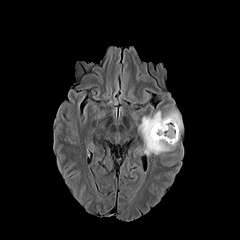
FLAIR magnetic resonance.
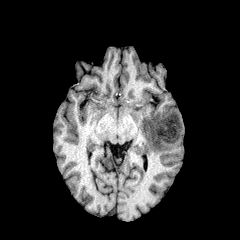
T1-weighted MR.
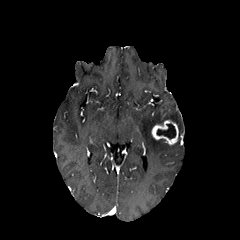
Post-contrast T1-weighted MRI.
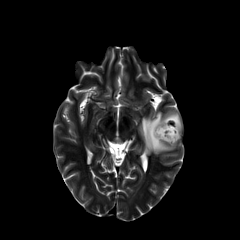
T2-weighted MR image.
Brain
The enhancing tumor is located at (left=151, top=120, right=178, bottom=144). The peritumoral edema is at (left=139, top=110, right=182, bottom=155). The necrotic tumor core is at (left=156, top=123, right=175, bottom=139).